FLAIR MRI.
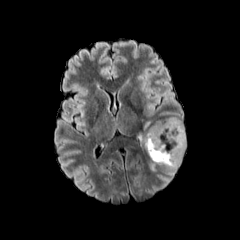
T1-weighted magnetic resonance.
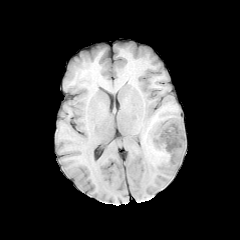
Post-contrast T1-weighted MR image.
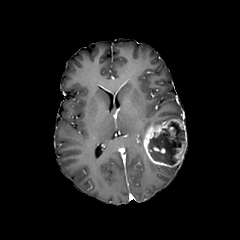
T2-weighted magnetic resonance.
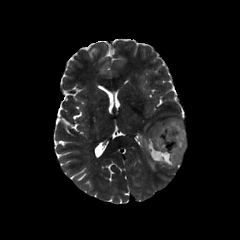
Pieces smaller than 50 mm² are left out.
The largest peritumoral edema region appears at l=139, t=135, r=145, b=153. The largest necrotic tumor core region is at l=148, t=121, r=184, b=165. The largest enhancing tumor region is located at l=143, t=118, r=186, b=167.